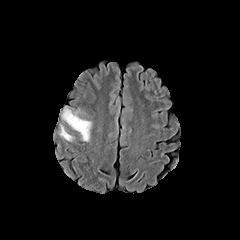
FLAIR MRI.
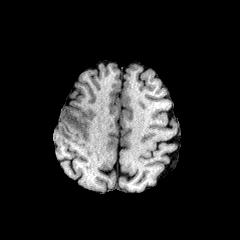
T1-weighted magnetic resonance of the same slice.
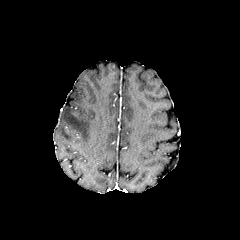
Post-contrast T1-weighted MRI of the same slice.
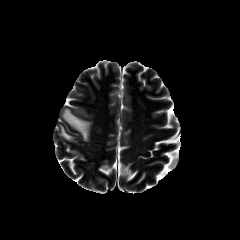
T2-weighted MR of the same slice.
Image size 240x240; Brain; Axial plane
- peritumoral edema: [62,107,91,141], [59,125,73,141]